FLAIR MR.
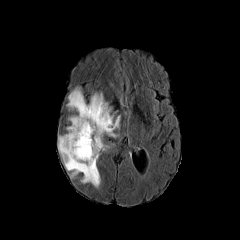
T1-weighted MR.
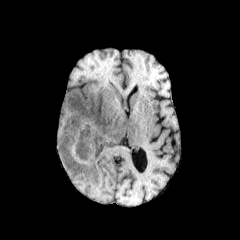
Post-contrast T1-weighted MRI.
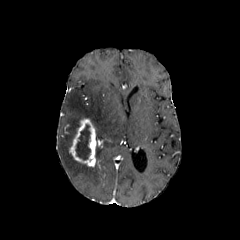
T2-weighted MR image.
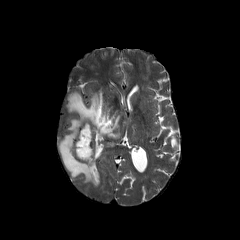
240x240 px
<segmentation>
  <peritumoral_edema><box>58,89,120,186</box></peritumoral_edema>
  <necrotic_tumor_core><box>76,124,90,159</box></necrotic_tumor_core>
  <enhancing_tumor><box>69,118,96,166</box></enhancing_tumor>
</segmentation>